FLAIR MR.
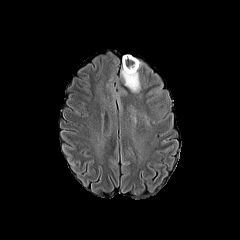
T1-weighted MR.
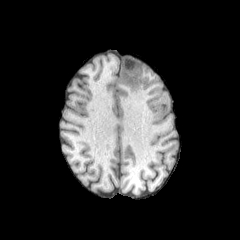
Post-contrast T1-weighted MR image.
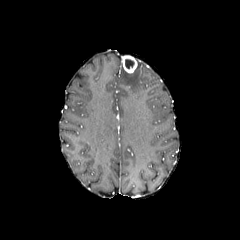
T2-weighted MR image.
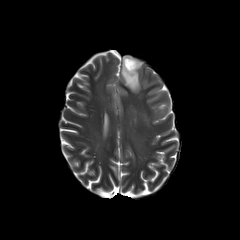
Head; Image size 240x240; Axial view
peritumoral edema at x1=121 y1=60 x2=140 y2=92
necrotic tumor core at x1=125 y1=59 x2=134 y2=69
enhancing tumor at x1=122 y1=55 x2=137 y2=73